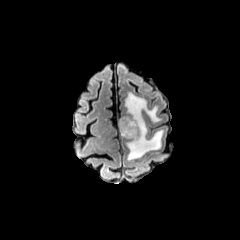
FLAIR MR.
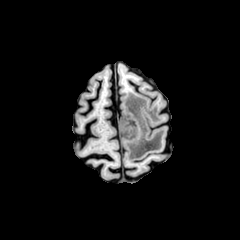
Same slice, T1-weighted MR image.
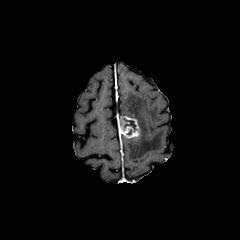
Post-contrast T1-weighted magnetic resonance.
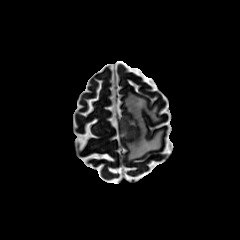
Same slice, T2-weighted MRI.
240x240 px.
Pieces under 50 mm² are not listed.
The enhancing tumor lies within x1=118, y1=115, x2=139, y2=139. The peritumoral edema appears at x1=124, y1=92, x2=163, y2=160. The largest necrotic tumor core region is at x1=124, y1=119, x2=135, y2=130.